240x240 px; Axial plane; Brain
FLAIR MRI.
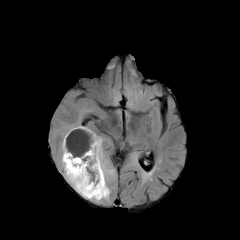
T1-weighted magnetic resonance.
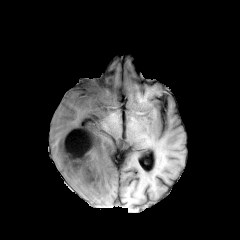
Post-contrast T1-weighted MR image.
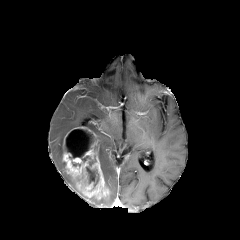
T2-weighted MR.
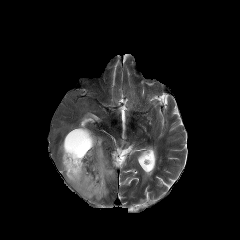
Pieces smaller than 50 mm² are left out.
The 3 largest peritumoral edema regions appear at [59,140,83,196], [98,136,114,186], [62,122,80,139]. The 2 largest necrotic tumor core regions are located at [86,167,98,186], [65,129,93,158]. The enhancing tumor appears at [62,126,109,199].